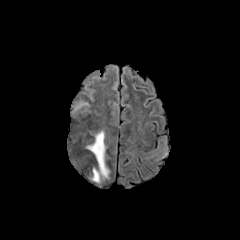
FLAIR MR.
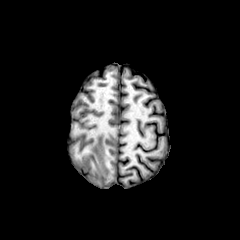
T1-weighted MRI.
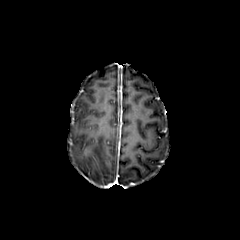
Same slice, post-contrast T1-weighted MR image.
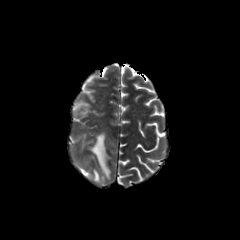
T2-weighted MRI of the same slice.
Axial view. Brain. 240x240.
2 peritumoral edema regions are located at [92, 169, 100, 183], [85, 131, 109, 177].